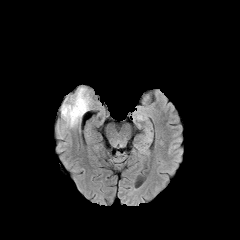
FLAIR MRI.
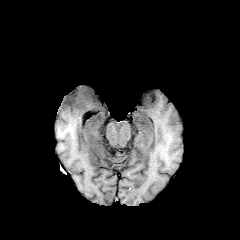
Same slice, T1-weighted MR.
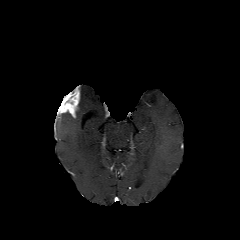
Post-contrast T1-weighted MR image of the same slice.
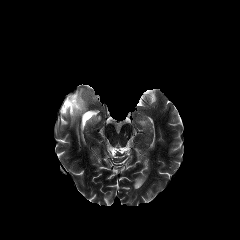
T2-weighted MR of the same slice.
240x240 px; Head
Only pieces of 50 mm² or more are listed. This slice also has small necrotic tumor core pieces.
Findings:
- peritumoral edema: 61, 87, 93, 127
- enhancing tumor: 59, 86, 80, 117